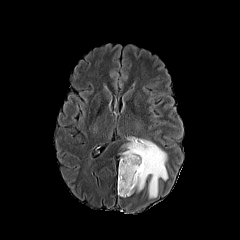
FLAIR magnetic resonance.
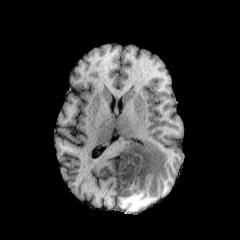
Same slice, T1-weighted magnetic resonance.
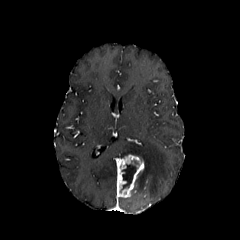
Same slice, post-contrast T1-weighted MR.
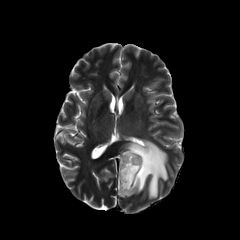
T2-weighted MR image.
Brain
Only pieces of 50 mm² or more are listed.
The peritumoral edema appears at [121, 139, 167, 197]. The largest necrotic tumor core region lies within [120, 164, 137, 192]. The enhancing tumor is bounded by [117, 154, 144, 197].